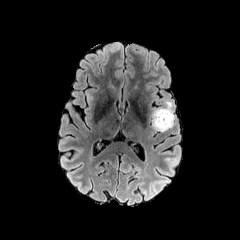
FLAIR MR image.
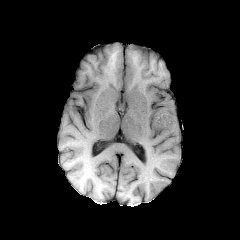
T1-weighted magnetic resonance.
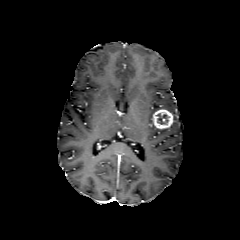
Post-contrast T1-weighted MR.
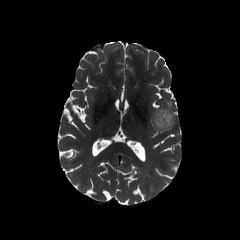
T2-weighted MRI of the same slice.
Head
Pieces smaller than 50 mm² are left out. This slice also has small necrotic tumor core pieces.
The enhancing tumor is located at <bbox>152, 109, 173, 129</bbox>. The peritumoral edema is located at <bbox>152, 100, 174, 131</bbox>.